Slice 123 of 155; 240x240; Head
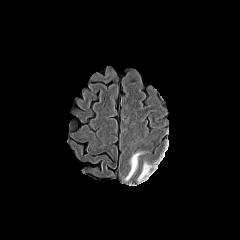
FLAIR magnetic resonance.
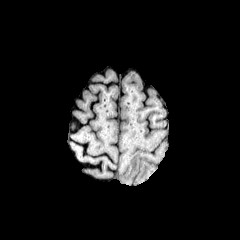
T1-weighted MRI.
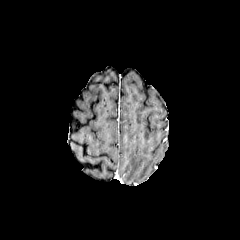
Post-contrast T1-weighted magnetic resonance.
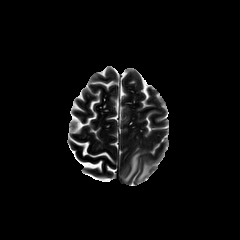
Same slice, T2-weighted magnetic resonance.
* peritumoral edema: left=137, top=163, right=151, bottom=182; left=124, top=153, right=141, bottom=181